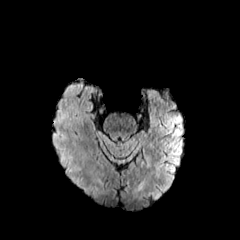
FLAIR magnetic resonance.
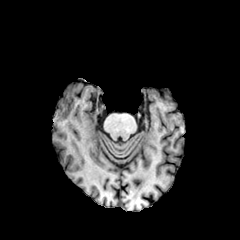
T1-weighted MR of the same slice.
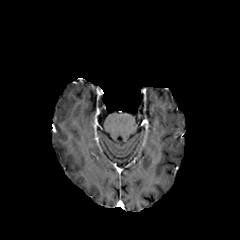
Same slice, post-contrast T1-weighted MR.
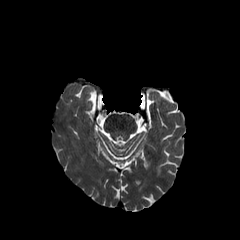
T2-weighted MR.
The peritumoral edema is at (53,139,83,188).